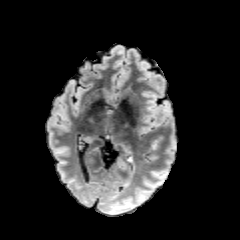
FLAIR MR.
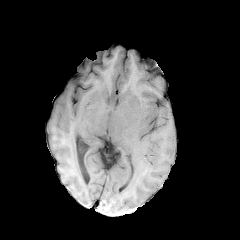
T1-weighted MR of the same slice.
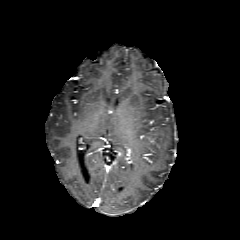
Post-contrast T1-weighted magnetic resonance.
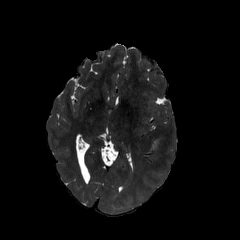
T2-weighted MRI.
Axial view
* peritumoral edema: <box>151,138,159,148</box>